240x240 px. Axial plane. Brain. Slice 43/155.
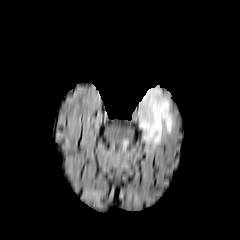
FLAIR MR.
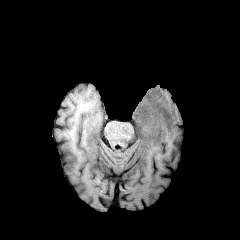
T1-weighted magnetic resonance of the same slice.
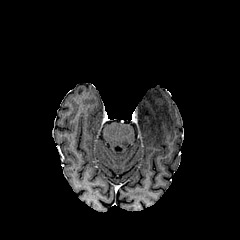
Post-contrast T1-weighted magnetic resonance.
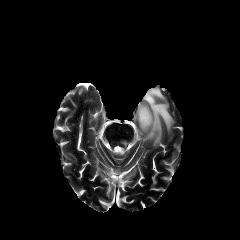
T2-weighted magnetic resonance.
peritumoral edema: 138, 88, 174, 146